Slice 75 of 155
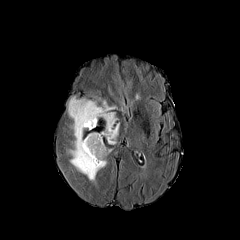
FLAIR MR.
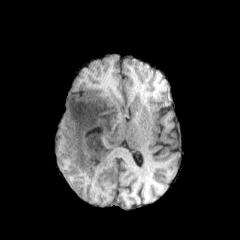
T1-weighted magnetic resonance.
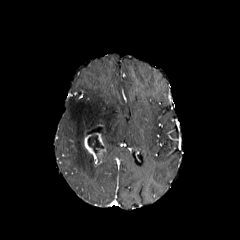
Post-contrast T1-weighted MR.
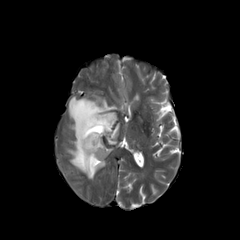
Same slice, T2-weighted MRI.
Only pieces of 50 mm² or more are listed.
The largest peritumoral edema region is located at region(68, 96, 119, 183). The enhancing tumor appears at region(84, 133, 106, 165). The largest necrotic tumor core region is at region(88, 135, 103, 154).